Brain | Axial slice | Image width 240 mm, 1.00 mm slice spacing
FLAIR MR.
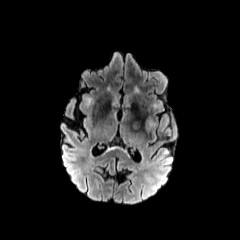
T1-weighted MRI.
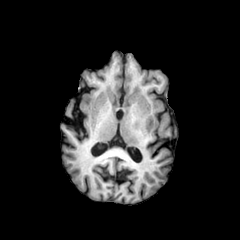
Post-contrast T1-weighted MR image.
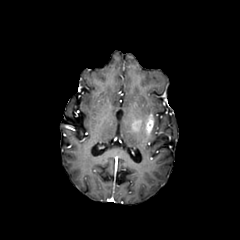
T2-weighted MRI.
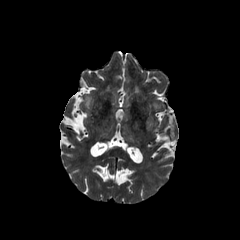
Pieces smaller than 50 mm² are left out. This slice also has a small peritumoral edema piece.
enhancing tumor at <box>145,115,153,133</box>